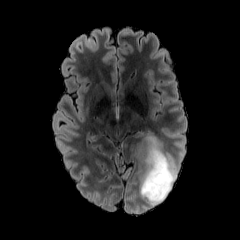
FLAIR MR image.
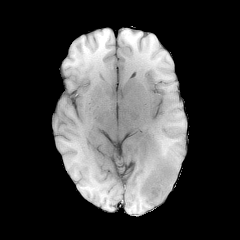
T1-weighted MRI.
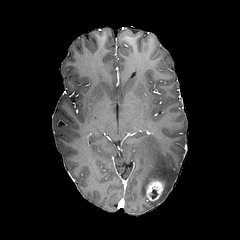
Post-contrast T1-weighted magnetic resonance.
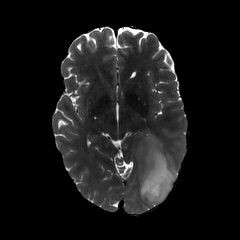
T2-weighted MR.
Head
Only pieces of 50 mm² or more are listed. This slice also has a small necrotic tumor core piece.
peritumoral_edema:
  - <box>138,136,177,205</box>
enhancing_tumor:
  - <box>146,180,163,200</box>